240x240 px; Head; Slice 75/155
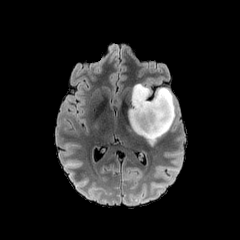
FLAIR magnetic resonance.
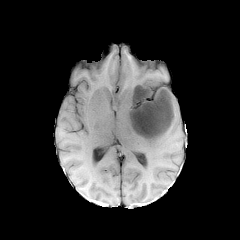
T1-weighted MR image.
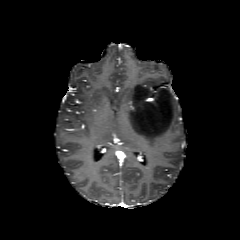
Post-contrast T1-weighted magnetic resonance.
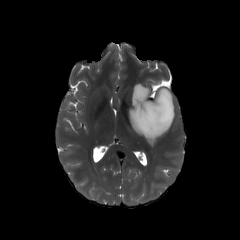
T2-weighted MRI.
Annotated regions:
- peritumoral edema: {"x1": 128, "y1": 83, "x2": 174, "y2": 144}